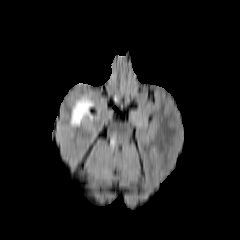
FLAIR MR image.
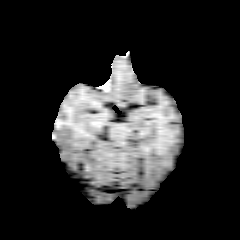
Same slice, T1-weighted MR.
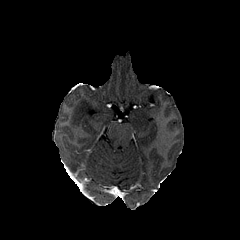
Post-contrast T1-weighted MRI.
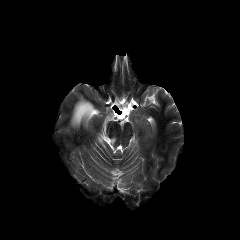
T2-weighted MRI of the same slice.
Axial view, Head
Annotated regions:
• peritumoral edema: x1=70 y1=96 x2=93 y2=126